Axial view. Brain.
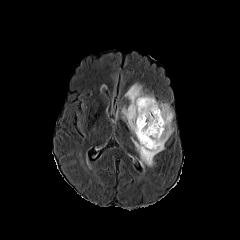
FLAIR MRI.
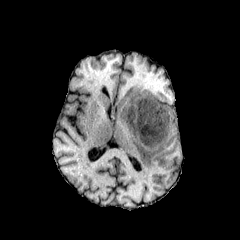
T1-weighted MR.
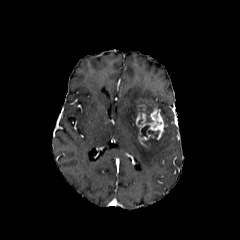
Post-contrast T1-weighted MR image of the same slice.
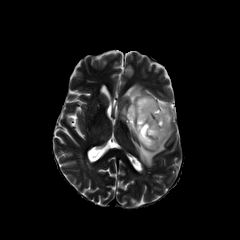
T2-weighted MR image.
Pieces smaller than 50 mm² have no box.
enhancing tumor — <box>136,107,166,146</box>
peritumoral edema — <box>121,83,173,167</box>
necrotic tumor core — <box>141,125,149,136</box>